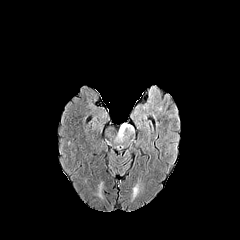
FLAIR MRI.
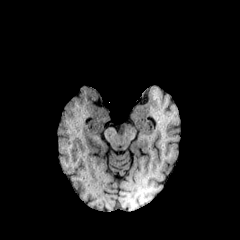
T1-weighted MRI.
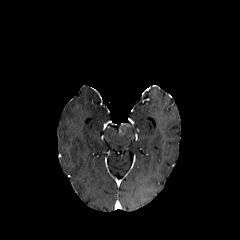
Post-contrast T1-weighted magnetic resonance of the same slice.
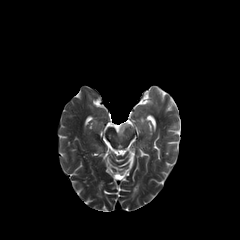
Same slice, T2-weighted MR.
Brain | Image size 240x240 | Axial slice
peritumoral edema: x1=117, y1=123, x2=134, y2=136; x1=133, y1=184, x2=138, y2=196